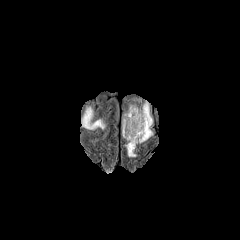
FLAIR MR.
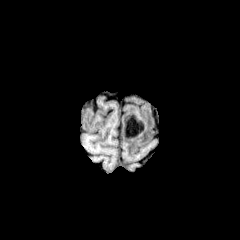
Same slice, T1-weighted magnetic resonance.
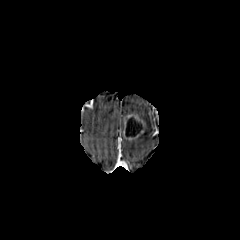
Post-contrast T1-weighted MRI.
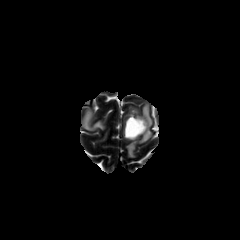
Same slice, T2-weighted MRI.
Brain. Axial slice. Image size 240x240.
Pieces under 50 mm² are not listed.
<segmentation>
  <peritumoral_edema>(x1=82, y1=109, x2=104, y2=129), (x1=125, y1=102, x2=152, y2=156)</peritumoral_edema>
  <enhancing_tumor>(x1=123, y1=112, x2=145, y2=140)</enhancing_tumor>
  <necrotic_tumor_core>(x1=125, y1=117, x2=143, y2=136)</necrotic_tumor_core>
</segmentation>